Brain. Slice 112 of 155.
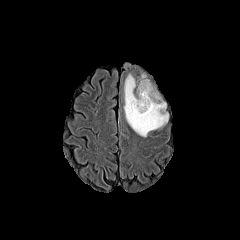
FLAIR MRI.
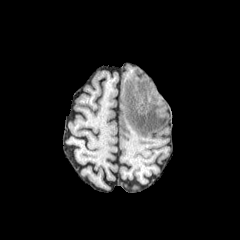
T1-weighted MRI of the same slice.
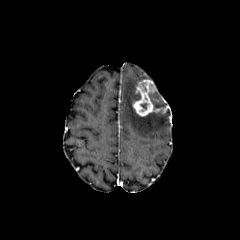
Post-contrast T1-weighted MR image.
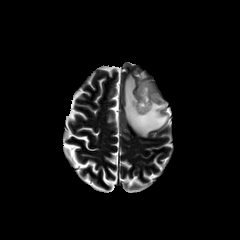
Same slice, T2-weighted magnetic resonance.
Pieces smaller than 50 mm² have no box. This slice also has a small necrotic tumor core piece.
The 2 largest peritumoral edema regions are bounded by bbox(150, 98, 166, 108); bbox(123, 74, 168, 137). The enhancing tumor is located at bbox(132, 79, 160, 116).